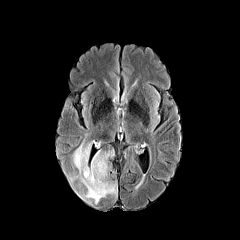
FLAIR MR.
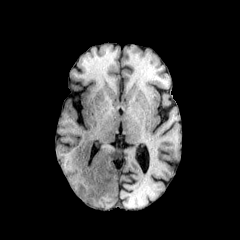
T1-weighted magnetic resonance of the same slice.
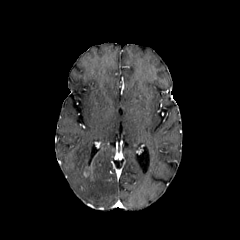
Post-contrast T1-weighted magnetic resonance.
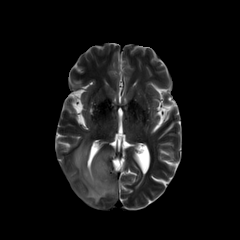
T2-weighted MR image.
Axial plane
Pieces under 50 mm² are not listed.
The peritumoral edema is located at l=69, t=140, r=117, b=204. The largest enhancing tumor region lies within l=83, t=162, r=93, b=176.